Head, Axial plane, Slice index 85
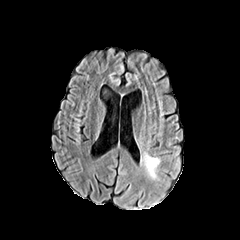
FLAIR MR.
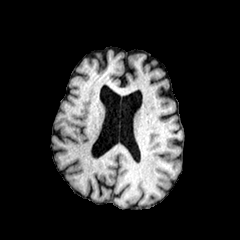
T1-weighted MR of the same slice.
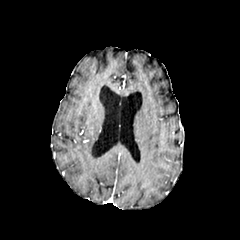
Post-contrast T1-weighted MRI.
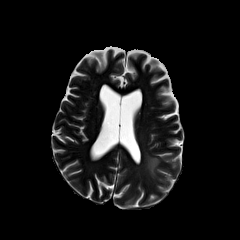
T2-weighted MR of the same slice.
peritumoral edema — region(144, 153, 159, 178)